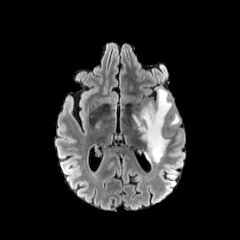
FLAIR MR.
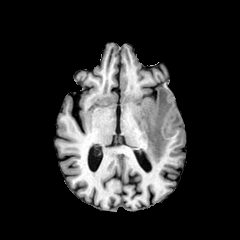
T1-weighted MR image of the same slice.
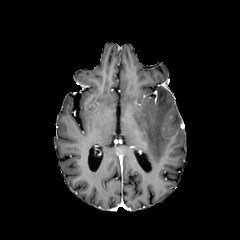
Post-contrast T1-weighted MR of the same slice.
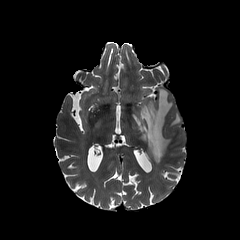
T2-weighted MR image of the same slice.
Axial view | Head | 240x240 px
2 peritumoral edema regions are bounded by box(131, 87, 172, 162); box(170, 112, 180, 125).